Brain; Image width 240 mm, 1.00 mm slice spacing; 240x240 px; Axial slice
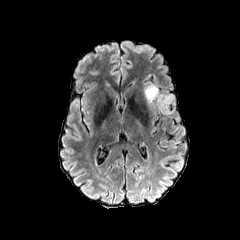
FLAIR MR.
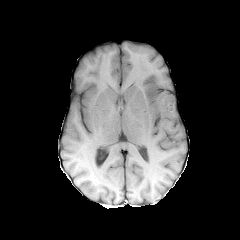
Same slice, T1-weighted MRI.
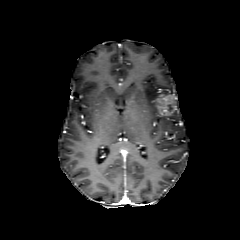
Post-contrast T1-weighted magnetic resonance.
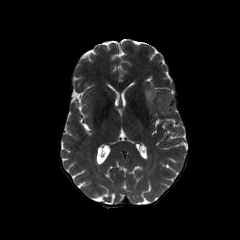
T2-weighted MR image of the same slice.
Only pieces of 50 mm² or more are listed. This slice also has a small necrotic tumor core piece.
peritumoral_edema:
  - bbox=[144, 85, 159, 105]
enhancing_tumor:
  - bbox=[155, 94, 176, 114]